Slice 69/155. Axial view. Brain.
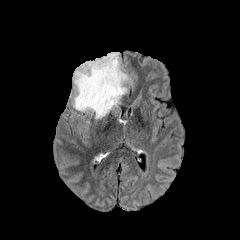
FLAIR MR.
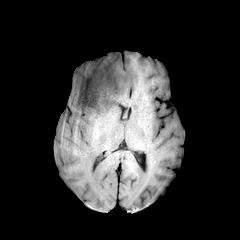
Same slice, T1-weighted MRI.
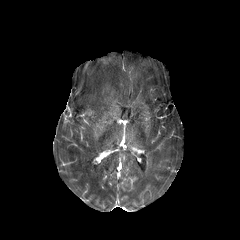
Post-contrast T1-weighted MR image of the same slice.
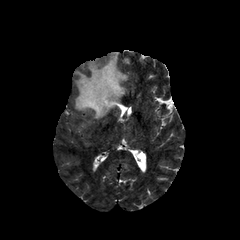
Same slice, T2-weighted magnetic resonance.
Annotated regions:
- peritumoral edema: 73 52 128 119